FLAIR MR image.
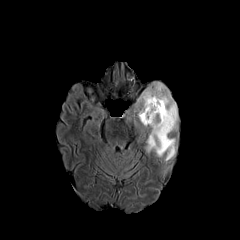
T1-weighted magnetic resonance.
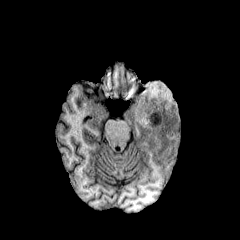
Post-contrast T1-weighted MR image.
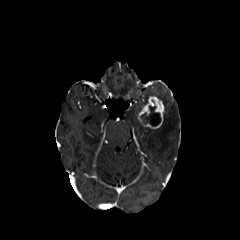
T2-weighted MR.
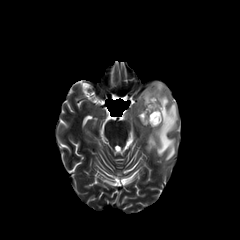
Head
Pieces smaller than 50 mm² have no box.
enhancing_tumor:
  - 138,96,164,128
necrotic_tumor_core:
  - 140,105,161,126
peritumoral_edema:
  - 137,82,178,161